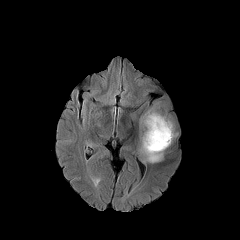
FLAIR MR.
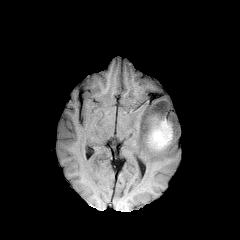
T1-weighted MRI.
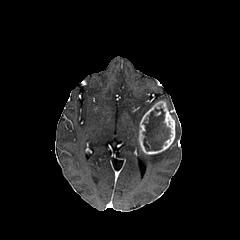
Post-contrast T1-weighted MRI.
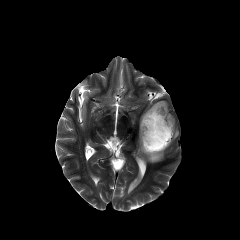
Same slice, T2-weighted MR.
Head. Axial view.
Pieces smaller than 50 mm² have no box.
{
  "necrotic_tumor_core": [
    "x1=143, y1=108, x2=170, y2=150"
  ],
  "peritumoral_edema": [
    "x1=139, y1=145, x2=164, y2=162"
  ],
  "enhancing_tumor": [
    "x1=138, y1=101, x2=175, y2=154"
  ]
}